Axial view | Slice 88 of 155
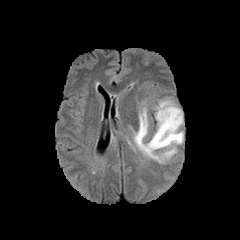
FLAIR MRI.
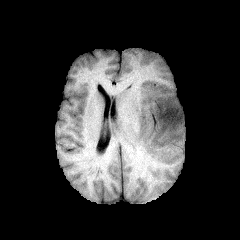
Same slice, T1-weighted MRI.
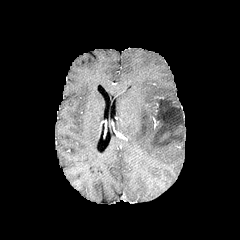
Post-contrast T1-weighted MR.
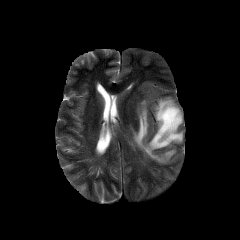
T2-weighted MRI of the same slice.
{"peritumoral_edema": [{"x1": 133, "y1": 97, "x2": 183, "y2": 163}]}